Image size 240x240 | Brain
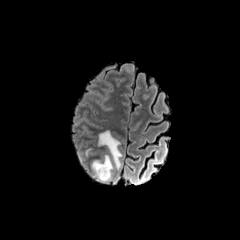
FLAIR magnetic resonance.
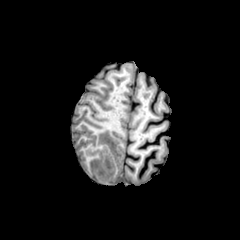
Same slice, T1-weighted MRI.
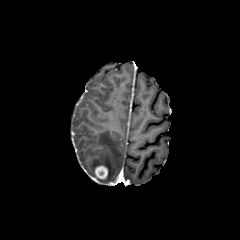
Same slice, post-contrast T1-weighted magnetic resonance.
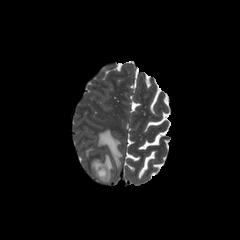
T2-weighted MR image.
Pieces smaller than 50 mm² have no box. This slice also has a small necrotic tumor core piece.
The enhancing tumor appears at left=94, top=165, right=108, bottom=180. The largest peritumoral edema region is located at left=91, top=130, right=122, bottom=183.